Axial slice; Image width 240 mm; Slice index 127
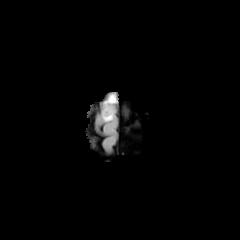
FLAIR MR.
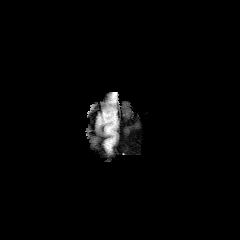
T1-weighted MR.
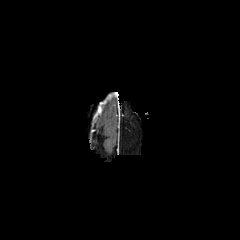
Post-contrast T1-weighted MR.
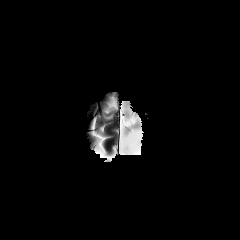
T2-weighted MRI.
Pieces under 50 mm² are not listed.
peritumoral_edema:
  - box=[103, 107, 113, 120]